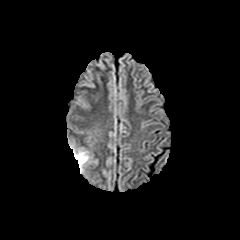
FLAIR MRI.
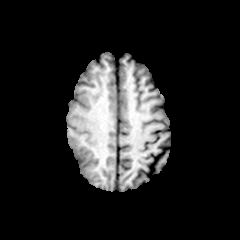
T1-weighted magnetic resonance.
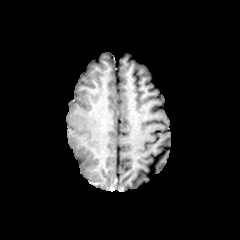
Post-contrast T1-weighted MR image.
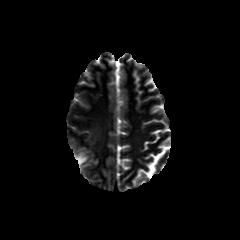
T2-weighted magnetic resonance.
Axial view | Brain
peritumoral edema — 73 149 88 171